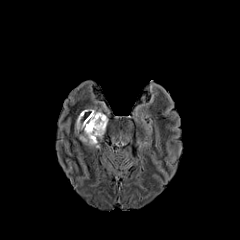
FLAIR MR.
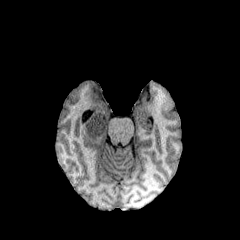
T1-weighted MR image.
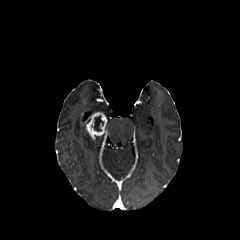
Post-contrast T1-weighted magnetic resonance of the same slice.
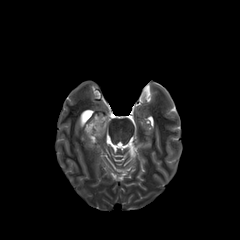
T2-weighted MR image.
Head | Axial slice
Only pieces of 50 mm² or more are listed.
{
  "necrotic_tumor_core": [
    "rect(94, 115, 103, 131)"
  ],
  "peritumoral_edema": [
    "rect(76, 114, 100, 146)"
  ],
  "enhancing_tumor": [
    "rect(84, 112, 107, 140)"
  ]
}